FLAIR MRI.
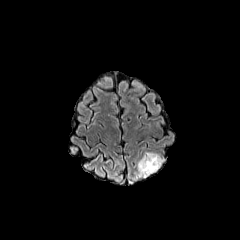
T1-weighted MRI.
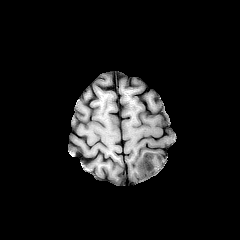
Post-contrast T1-weighted magnetic resonance.
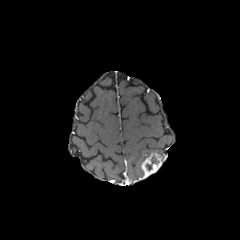
T2-weighted MRI.
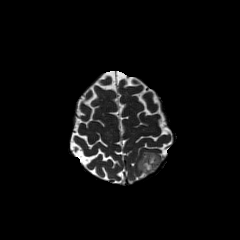
240x240. Head.
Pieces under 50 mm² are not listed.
peritumoral edema — 137,152,154,176
enhancing tumor — 140,153,161,176
necrotic tumor core — 146,155,159,171